Image width 240 mm. Brain. 240x240.
FLAIR magnetic resonance.
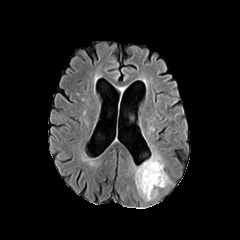
T1-weighted MR.
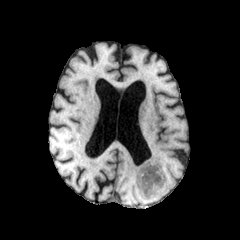
Post-contrast T1-weighted MR image.
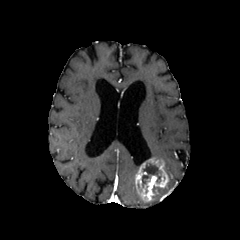
T2-weighted MRI.
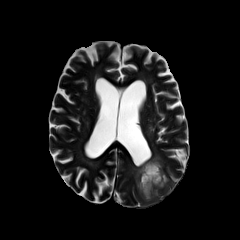
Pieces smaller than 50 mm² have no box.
Segmented structures:
* peritumoral edema: 129 165 139 172, 151 144 162 159
* enhancing tumor: 135 157 168 201
* necrotic tumor core: 143 163 158 174, 142 175 148 187